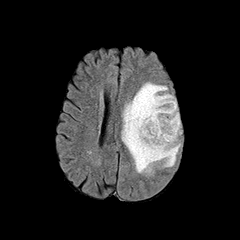
FLAIR MR.
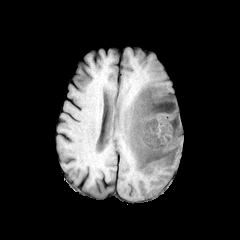
Same slice, T1-weighted magnetic resonance.
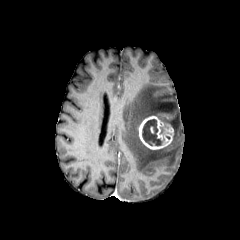
Same slice, post-contrast T1-weighted MR image.
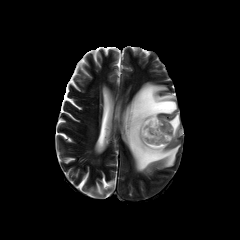
T2-weighted MR image.
240x240.
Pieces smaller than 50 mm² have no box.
The largest enhancing tumor region is at x1=138, y1=116, x2=173, y2=149. The largest necrotic tumor core region is bounded by x1=142, y1=119, x2=162, y2=145. The largest peritumoral edema region appears at x1=121, y1=82, x2=181, y2=173.